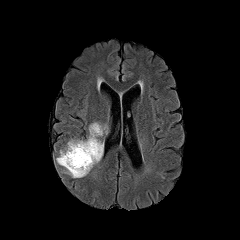
FLAIR MR image.
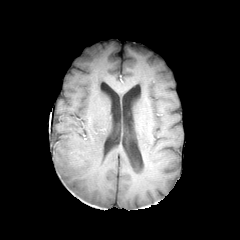
Same slice, T1-weighted MR.
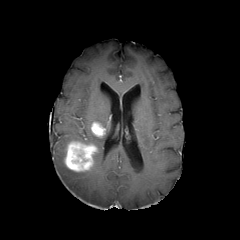
Post-contrast T1-weighted MRI of the same slice.
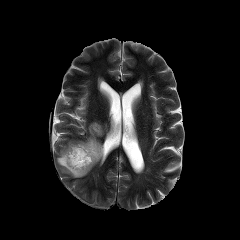
T2-weighted MR image of the same slice.
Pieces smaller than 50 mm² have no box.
enhancing tumor: box=[64, 141, 97, 171]; box=[91, 122, 105, 136] | peritumoral edema: box=[56, 124, 103, 178]